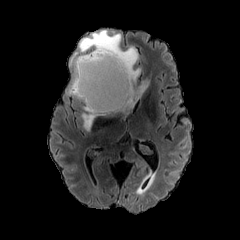
FLAIR magnetic resonance.
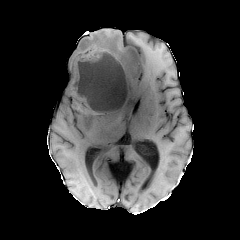
T1-weighted MRI.
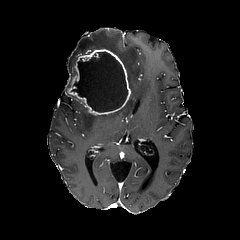
Post-contrast T1-weighted MRI of the same slice.
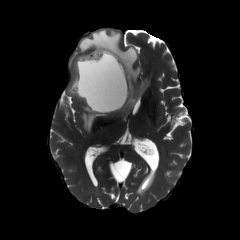
T2-weighted magnetic resonance.
Axial plane
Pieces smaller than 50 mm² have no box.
<segmentation>
  <enhancing_tumor>bbox(68, 48, 131, 115)</enhancing_tumor>
  <necrotic_tumor_core>bbox(72, 51, 127, 112)</necrotic_tumor_core>
  <peritumoral_edema>bbox(81, 104, 98, 130); bbox(69, 29, 148, 116)</peritumoral_edema>
</segmentation>